Image width 240 mm, Head
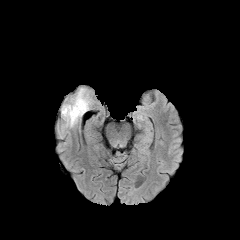
FLAIR MRI.
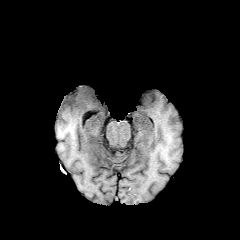
T1-weighted MR image of the same slice.
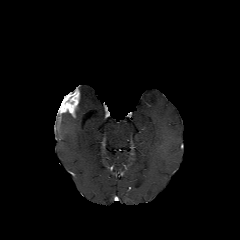
Post-contrast T1-weighted MR image.
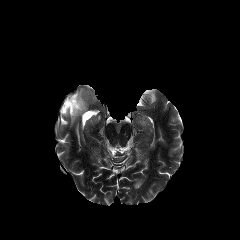
T2-weighted MR image of the same slice.
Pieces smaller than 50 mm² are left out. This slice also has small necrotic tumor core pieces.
The peritumoral edema is located at left=61, top=87, right=95, bottom=129. The enhancing tumor appears at left=59, top=87, right=80, bottom=117.